Axial plane.
FLAIR magnetic resonance.
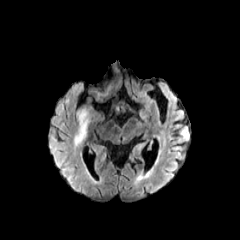
T1-weighted MR image.
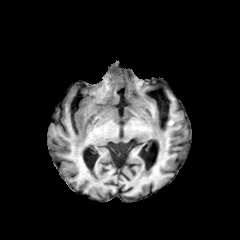
Post-contrast T1-weighted MR image.
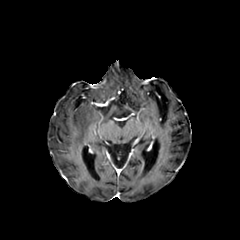
T2-weighted MR image.
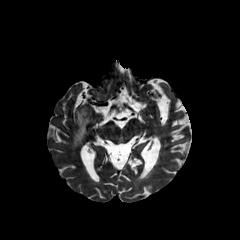
<segmentation>
  <peritumoral_edema>[74, 109, 89, 146]</peritumoral_edema>
</segmentation>